Brain; Axial plane
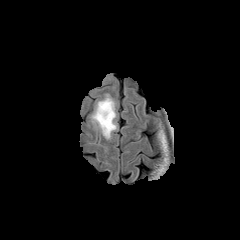
FLAIR magnetic resonance.
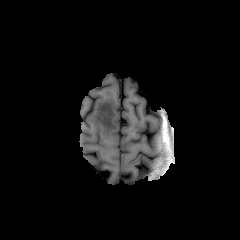
T1-weighted magnetic resonance of the same slice.
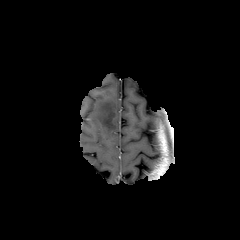
Post-contrast T1-weighted magnetic resonance.
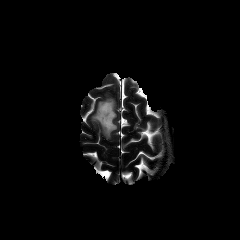
T2-weighted MR image.
peritumoral edema = left=91, top=94, right=117, bottom=139